Slice 79 of 155
FLAIR MR.
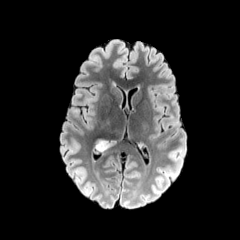
T1-weighted MR image.
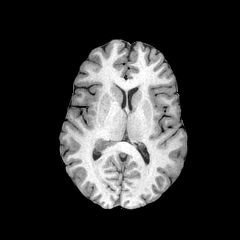
Post-contrast T1-weighted magnetic resonance.
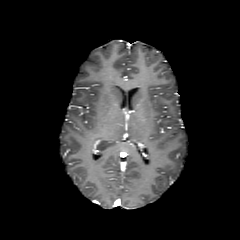
T2-weighted magnetic resonance.
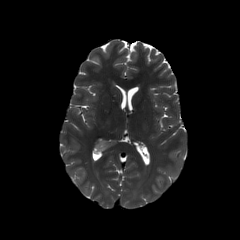
peritumoral edema = (left=92, top=135, right=116, bottom=151)